Axial slice | 240x240 px
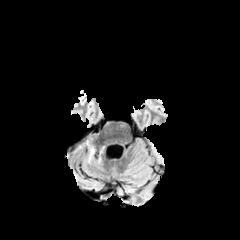
FLAIR magnetic resonance.
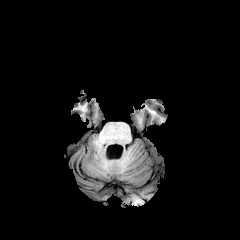
T1-weighted MR image of the same slice.
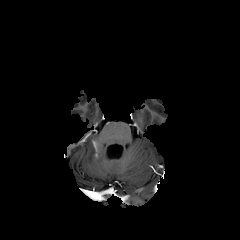
Post-contrast T1-weighted MR image of the same slice.
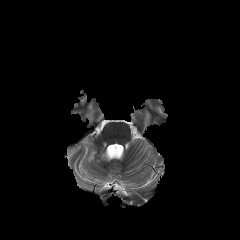
T2-weighted magnetic resonance.
The peritumoral edema appears at x1=89 y1=145 x2=105 y2=161.